FLAIR MR.
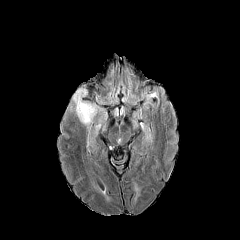
T1-weighted MR image.
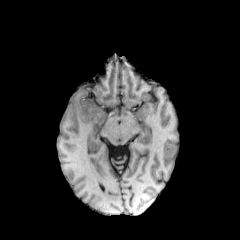
Post-contrast T1-weighted MRI.
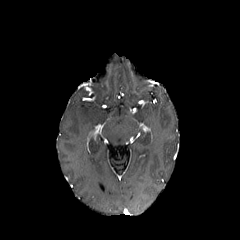
T2-weighted MRI.
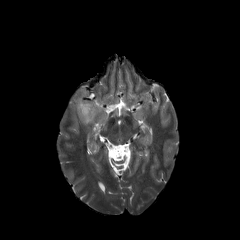
Axial plane.
The peritumoral edema is located at {"x1": 72, "y1": 84, "x2": 107, "y2": 125}.